Slice 61 of 155.
FLAIR MR.
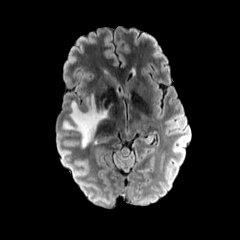
T1-weighted magnetic resonance.
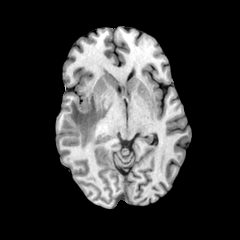
Post-contrast T1-weighted magnetic resonance.
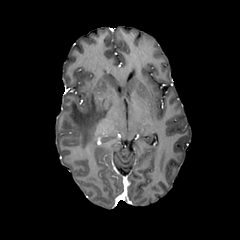
T2-weighted MR.
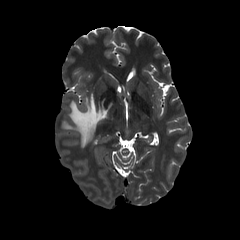
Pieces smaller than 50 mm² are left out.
The largest peritumoral edema region is bounded by 62:94:112:147.